FLAIR magnetic resonance.
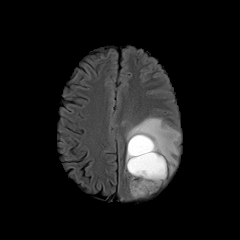
T1-weighted MR image.
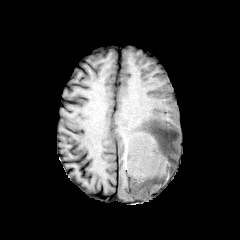
Post-contrast T1-weighted MR.
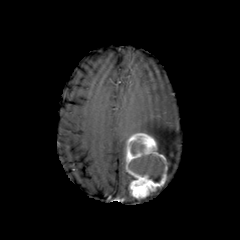
T2-weighted magnetic resonance.
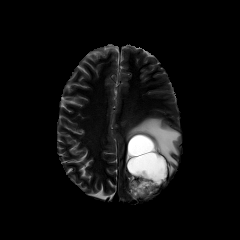
Brain. Axial plane.
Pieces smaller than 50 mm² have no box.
necrotic tumor core = region(129, 154, 164, 182); region(131, 139, 144, 154)
peritumoral edema = region(126, 117, 181, 176)
enhancing tumor = region(126, 133, 167, 198)